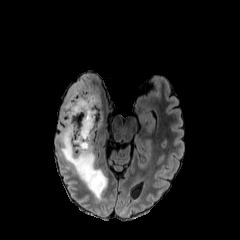
FLAIR MR.
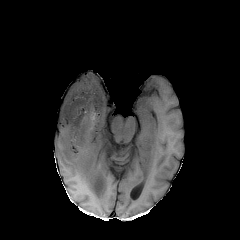
T1-weighted magnetic resonance of the same slice.
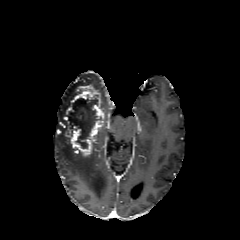
Same slice, post-contrast T1-weighted MRI.
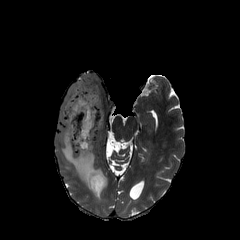
T2-weighted magnetic resonance.
Axial view, Head
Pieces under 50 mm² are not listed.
The largest peritumoral edema region appears at (59,74,107,199). The necrotic tumor core appears at (70,98,101,148). The enhancing tumor lies within (66,85,104,156).